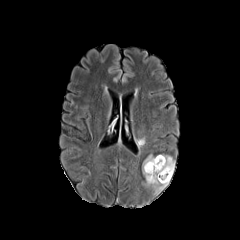
FLAIR MRI.
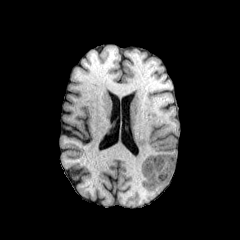
Same slice, T1-weighted MR.
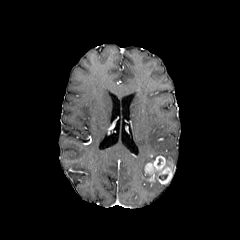
Post-contrast T1-weighted magnetic resonance.
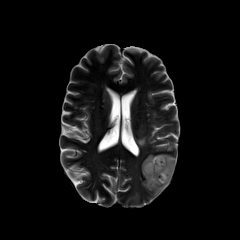
Same slice, T2-weighted MR image.
Axial slice.
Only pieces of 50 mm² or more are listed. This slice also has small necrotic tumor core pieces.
The enhancing tumor is bounded by 144:155:174:184. The 3 largest peritumoral edema regions appear at 157:154:175:165, 142:154:168:195, 136:138:145:147.